FLAIR MR image.
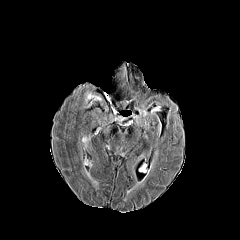
T1-weighted MRI.
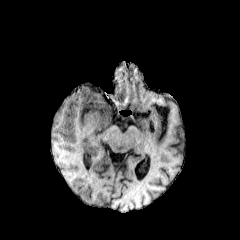
Post-contrast T1-weighted MRI.
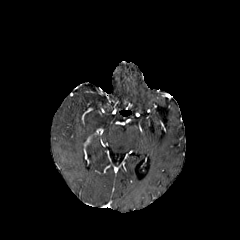
T2-weighted MR.
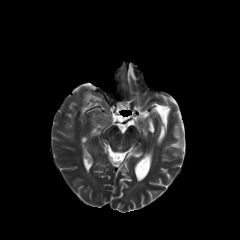
Head
{"peritumoral_edema": ["(87, 94, 102, 100)"]}